FLAIR MR image.
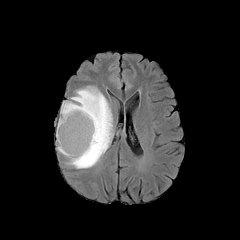
T1-weighted MR image.
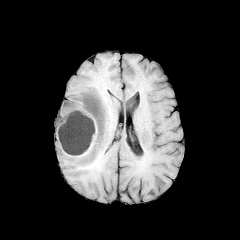
Post-contrast T1-weighted MRI.
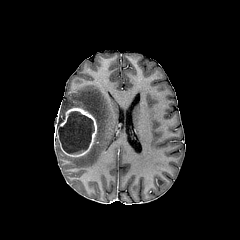
T2-weighted MRI.
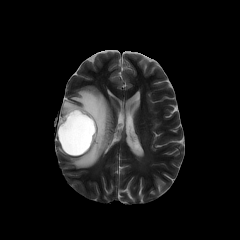
240x240 px
enhancing_tumor:
  - {"x1": 56, "y1": 107, "x2": 97, "y2": 156}
peritumoral_edema:
  - {"x1": 57, "y1": 86, "x2": 112, "y2": 168}
necrotic_tumor_core:
  - {"x1": 58, "y1": 111, "x2": 94, "y2": 153}